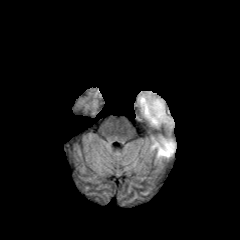
FLAIR MRI.
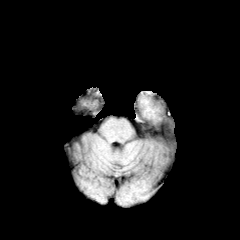
T1-weighted MR.
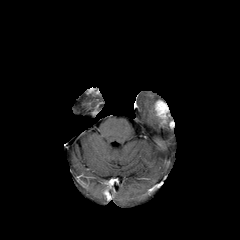
Same slice, post-contrast T1-weighted MR image.
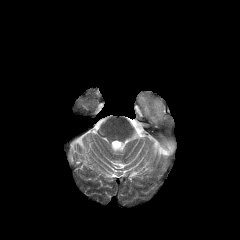
Same slice, T2-weighted MRI.
Axial plane.
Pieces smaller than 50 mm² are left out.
enhancing tumor — {"x1": 155, "y1": 139, "x2": 169, "y2": 149}, {"x1": 152, "y1": 99, "x2": 174, "y2": 129}
peritumoral edema — {"x1": 135, "y1": 93, "x2": 159, "y2": 127}, {"x1": 151, "y1": 136, "x2": 175, "y2": 157}